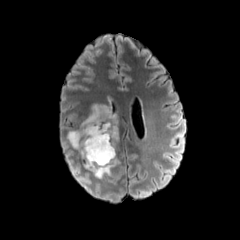
FLAIR MR image.
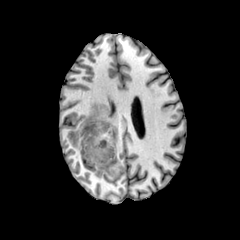
T1-weighted MR of the same slice.
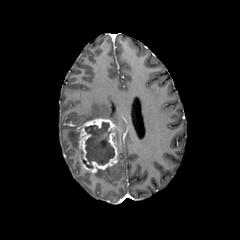
Post-contrast T1-weighted MR of the same slice.
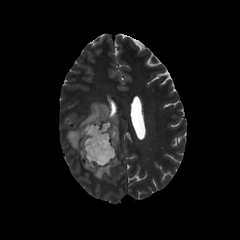
T2-weighted MRI of the same slice.
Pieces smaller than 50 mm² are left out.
Segmented structures:
• enhancing tumor: x1=78, y1=118, x2=119, y2=172
• necrotic tumor core: x1=85, y1=122, x2=114, y2=168
• peritumoral edema: x1=79, y1=103, x2=117, y2=127; x1=93, y1=160, x2=119, y2=178; x1=67, y1=129, x2=79, y2=149